Brain.
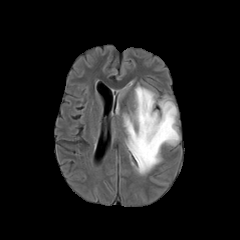
FLAIR MR.
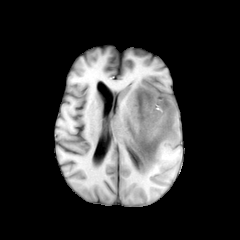
T1-weighted MR of the same slice.
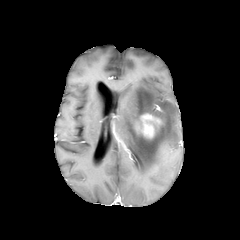
Same slice, post-contrast T1-weighted MR.
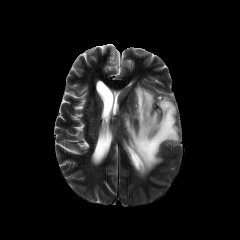
T2-weighted MR.
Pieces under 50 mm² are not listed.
* peritumoral edema: [123,85,179,175]
* enhancing tumor: [136,113,161,138]